FLAIR MR image.
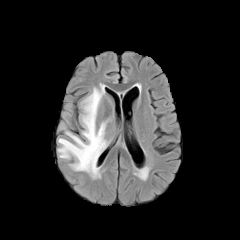
T1-weighted MR.
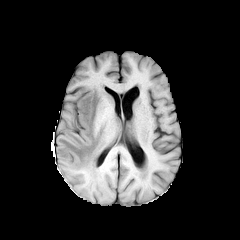
Post-contrast T1-weighted MRI.
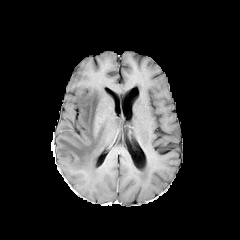
T2-weighted MR.
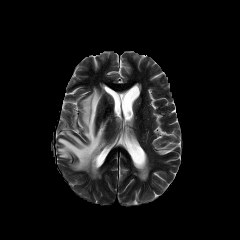
peritumoral edema at x1=58 y1=84 x2=107 y2=178